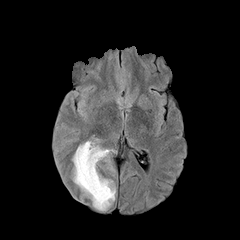
FLAIR MRI.
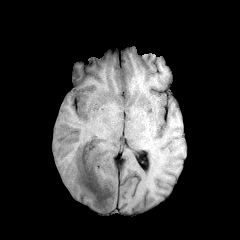
T1-weighted MR of the same slice.
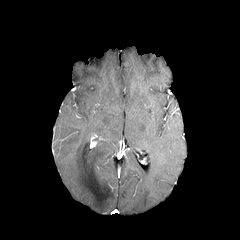
Post-contrast T1-weighted MRI.
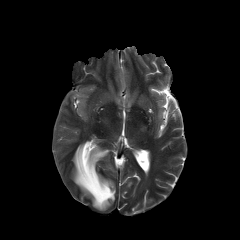
T2-weighted MR.
240x240 px | Head
{"peritumoral_edema": ["(left=72, top=141, right=115, bottom=210)"]}